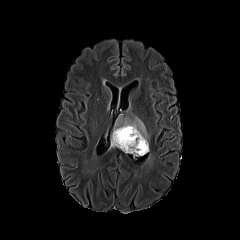
FLAIR MRI.
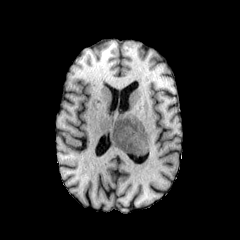
T1-weighted magnetic resonance.
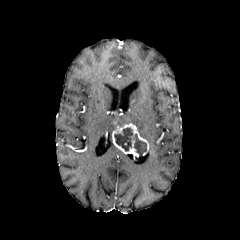
Same slice, post-contrast T1-weighted MRI.
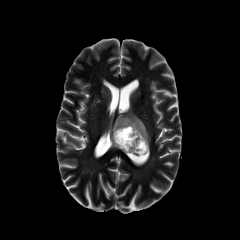
Same slice, T2-weighted MR image.
Axial slice
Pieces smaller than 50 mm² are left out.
The necrotic tumor core lies within region(114, 128, 146, 155). The largest peritumoral edema region is bounded by region(113, 115, 149, 142). The largest enhancing tumor region appears at region(112, 123, 149, 156).